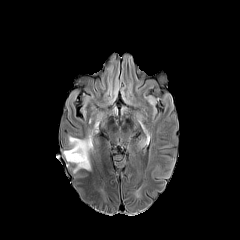
FLAIR magnetic resonance.
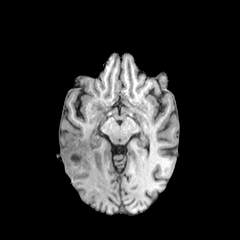
T1-weighted magnetic resonance.
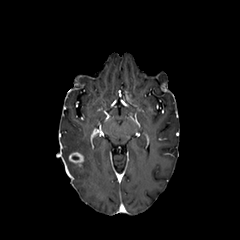
Post-contrast T1-weighted MR image.
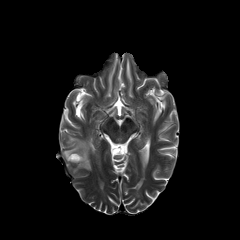
Same slice, T2-weighted MR.
Head
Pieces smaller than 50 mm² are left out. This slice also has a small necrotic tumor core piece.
{
  "enhancing_tumor": [
    "x1=68, y1=152, x2=84, y2=166"
  ],
  "peritumoral_edema": [
    "x1=63, y1=136, x2=91, y2=171"
  ]
}